Axial plane | Brain | Image width 240 mm
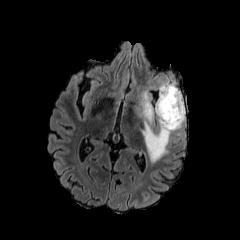
FLAIR MR.
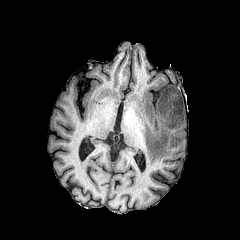
T1-weighted magnetic resonance of the same slice.
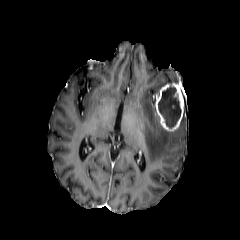
Post-contrast T1-weighted MR of the same slice.
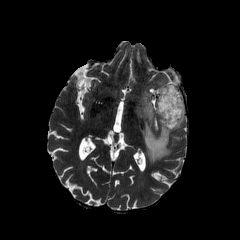
T2-weighted MRI.
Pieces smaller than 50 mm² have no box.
{"necrotic_tumor_core": [{"x1": 158, "y1": 86, "x2": 181, "y2": 128}], "enhancing_tumor": [{"x1": 155, "y1": 82, "x2": 184, "y2": 131}], "peritumoral_edema": [{"x1": 138, "y1": 91, "x2": 185, "y2": 163}]}